Head. Image covers 240 mm x 240 mm. Slice 91 of 155.
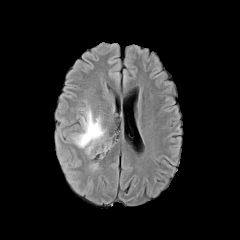
FLAIR MR.
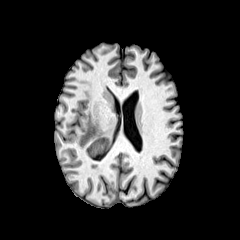
T1-weighted magnetic resonance of the same slice.
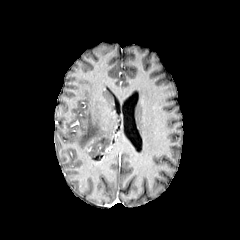
Post-contrast T1-weighted magnetic resonance.
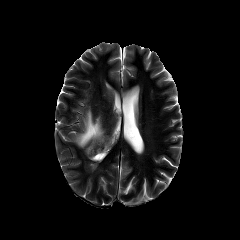
T2-weighted MR of the same slice.
peritumoral edema: rect(73, 107, 109, 157)